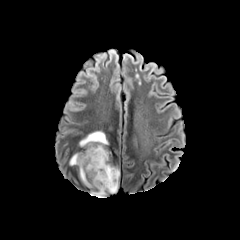
FLAIR MR image.
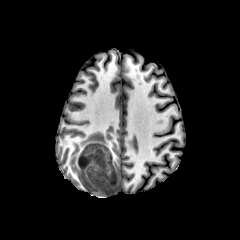
T1-weighted MRI.
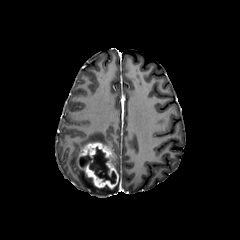
Post-contrast T1-weighted MR.
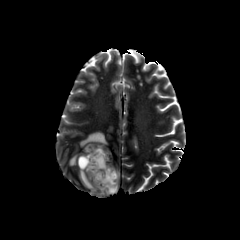
Same slice, T2-weighted MR image.
Brain | Axial plane | Image size 240x240
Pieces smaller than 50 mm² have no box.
enhancing tumor at (77,142,118,189)
necrotic tumor core at (79,147,116,183)
peritumoral edema at (79,131,108,147), (69,153,80,165), (79,169,118,196)